Axial plane, Image covers 240 mm x 240 mm
FLAIR MR image.
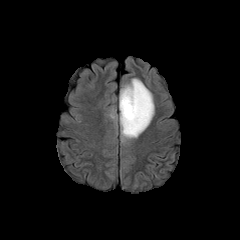
T1-weighted MR.
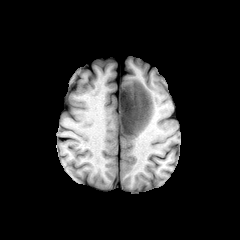
Post-contrast T1-weighted magnetic resonance.
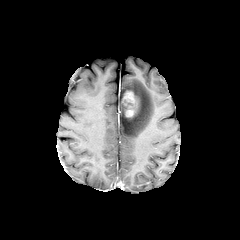
T2-weighted MR.
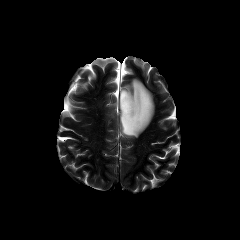
Findings:
• peritumoral edema: (x1=119, y1=78, x2=154, y2=142)
• enhancing tumor: (x1=122, y1=91, x2=137, y2=118)